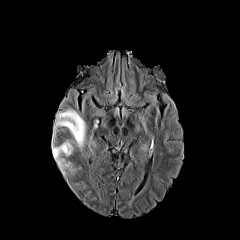
FLAIR magnetic resonance.
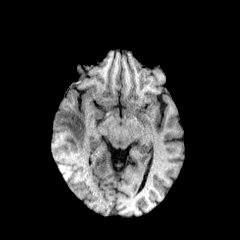
T1-weighted MRI of the same slice.
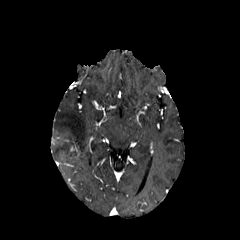
Post-contrast T1-weighted MR image of the same slice.
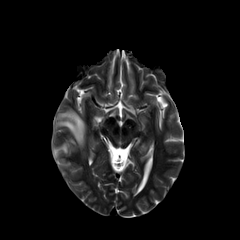
Same slice, T2-weighted magnetic resonance.
Brain | Image size 240x240
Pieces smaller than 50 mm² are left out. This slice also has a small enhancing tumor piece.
Segmented structures:
* peritumoral edema: (53,109,85,149), (52,142,72,171)